Axial plane. Head. Slice 82/155.
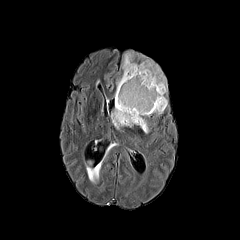
FLAIR MRI.
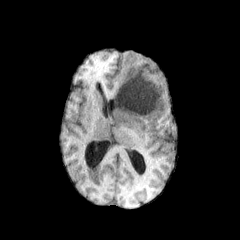
T1-weighted MRI.
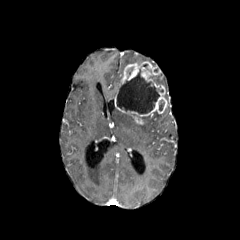
Post-contrast T1-weighted MRI.
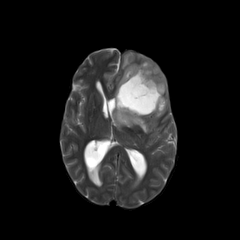
T2-weighted magnetic resonance of the same slice.
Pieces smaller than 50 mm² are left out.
Segmented structures:
• necrotic tumor core: l=117, t=69, r=159, b=113
• enhancing tumor: l=115, t=61, r=167, b=124
• peritumoral edema: l=155, t=77, r=166, b=88; l=111, t=108, r=148, b=133; l=87, t=168, r=98, b=180; l=122, t=53, r=132, b=69